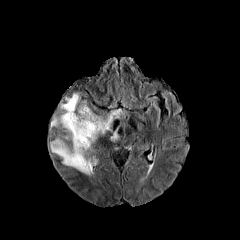
FLAIR MR image.
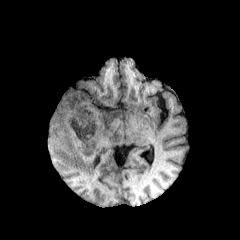
T1-weighted MRI of the same slice.
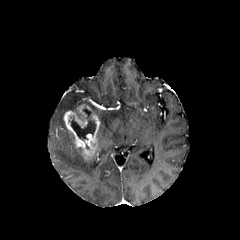
Post-contrast T1-weighted MR image of the same slice.
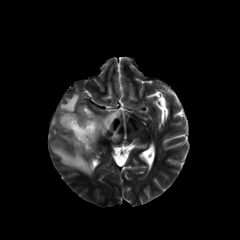
Same slice, T2-weighted magnetic resonance.
Brain, 240x240
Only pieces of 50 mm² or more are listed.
* peritumoral edema: (left=51, top=93, right=95, bottom=175), (left=97, top=109, right=120, bottom=136)
* enhancing tumor: (left=63, top=104, right=100, bottom=159)
* necrotic tumor core: (left=69, top=119, right=96, bottom=139)